FLAIR MR image.
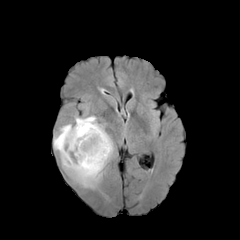
T1-weighted MR image.
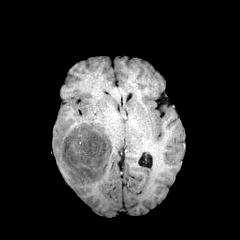
Post-contrast T1-weighted MR.
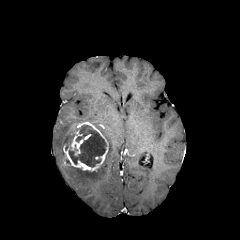
T2-weighted magnetic resonance.
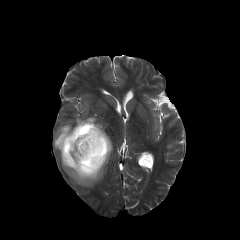
Brain | Axial slice
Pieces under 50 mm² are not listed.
necrotic_tumor_core:
  - bbox=[69, 125, 106, 166]
peritumoral_edema:
  - bbox=[54, 116, 113, 188]
enhancing_tumor:
  - bbox=[63, 121, 108, 171]